Slice 51 of 155, Image size 240x240, Axial view, Head
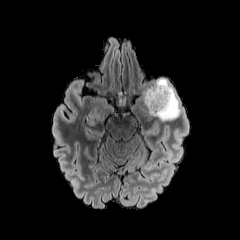
FLAIR magnetic resonance.
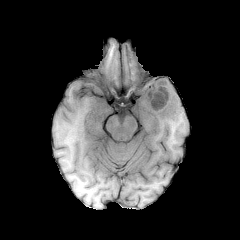
Same slice, T1-weighted MRI.
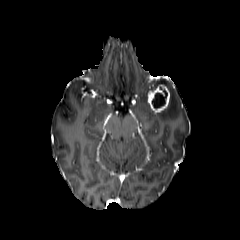
Post-contrast T1-weighted magnetic resonance.
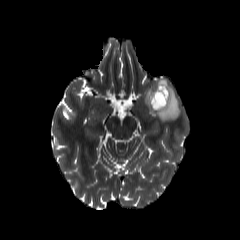
T2-weighted MR.
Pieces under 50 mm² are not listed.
peritumoral edema: 144:78:181:121 | necrotic tumor core: 152:89:167:108 | enhancing tumor: 147:84:170:112